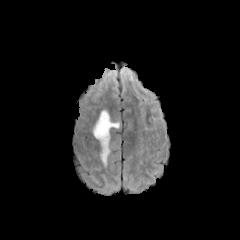
FLAIR MR image.
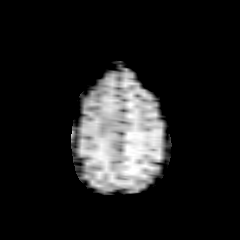
T1-weighted MR.
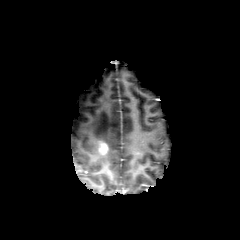
Post-contrast T1-weighted magnetic resonance.
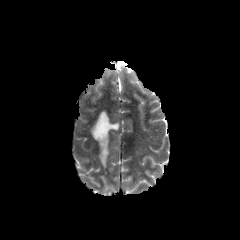
T2-weighted magnetic resonance of the same slice.
Axial slice; 240x240 px
The enhancing tumor appears at 101:143:107:153. The peritumoral edema lies within 93:110:119:164.